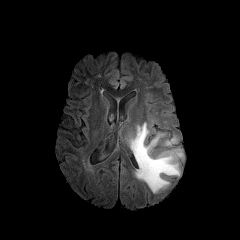
FLAIR MR.
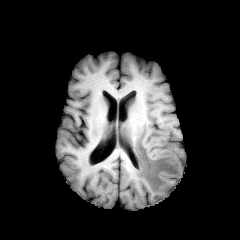
T1-weighted MRI.
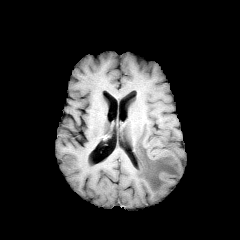
Post-contrast T1-weighted MR.
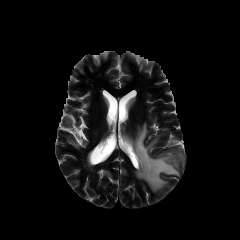
T2-weighted MRI.
Brain; 240x240 px
{
  "peritumoral_edema": [
    "bbox=[165, 136, 177, 146]",
    "bbox=[129, 123, 183, 192]"
  ]
}